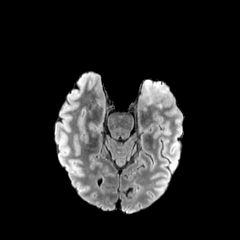
FLAIR magnetic resonance.
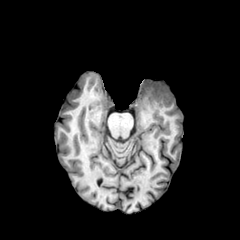
T1-weighted magnetic resonance.
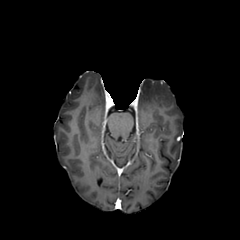
Same slice, post-contrast T1-weighted MR image.
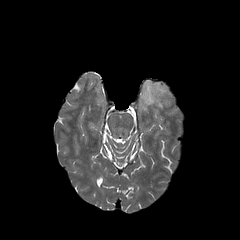
T2-weighted MR of the same slice.
peritumoral edema = 141, 80, 168, 108